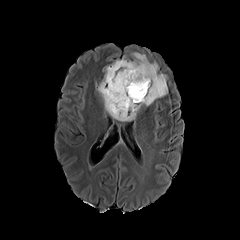
FLAIR MR.
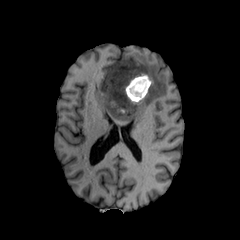
T1-weighted magnetic resonance.
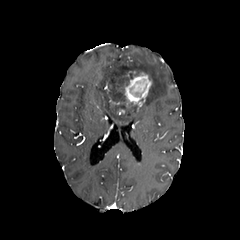
Post-contrast T1-weighted MR image of the same slice.
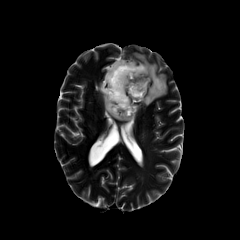
T2-weighted MR image of the same slice.
Axial plane
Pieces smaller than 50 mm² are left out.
necrotic tumor core at (108,62,132,102)
enhancing tumor at (109,70,151,109)
peritumoral edema at (94,55,141,122), (127,52,168,107)